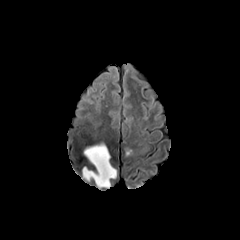
FLAIR MR.
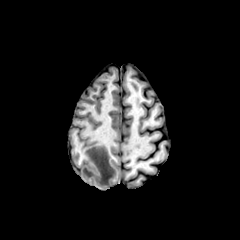
T1-weighted magnetic resonance.
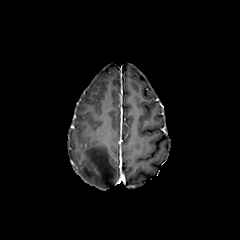
Post-contrast T1-weighted MR of the same slice.
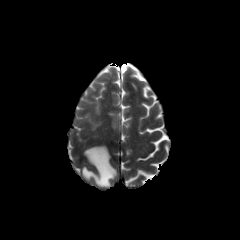
T2-weighted MR of the same slice.
Axial plane; 240x240 px; Head
* peritumoral edema: x1=82 y1=145 x2=116 y2=187